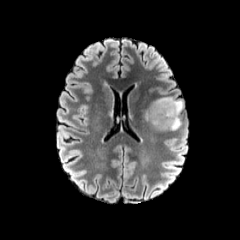
FLAIR magnetic resonance.
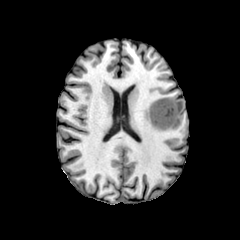
T1-weighted MR.
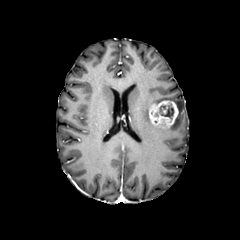
Post-contrast T1-weighted magnetic resonance.
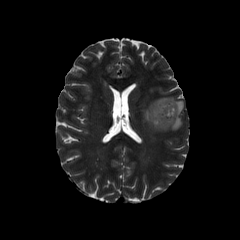
T2-weighted MR image of the same slice.
Image size 240x240
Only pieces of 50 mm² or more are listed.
<segmentation>
  <necrotic_tumor_core>box(159, 105, 173, 118)</necrotic_tumor_core>
  <enhancing_tumor>box(149, 100, 178, 128)</enhancing_tumor>
  <peritumoral_edema>box(154, 97, 183, 130)</peritumoral_edema>
</segmentation>